Image covers 240 mm x 240 mm, Brain, Image size 240x240
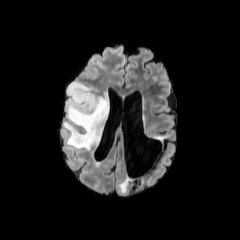
FLAIR MRI.
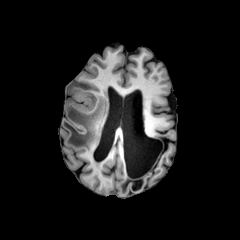
T1-weighted MRI of the same slice.
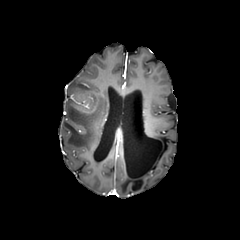
Post-contrast T1-weighted MRI.
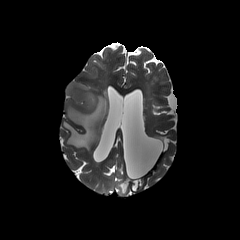
T2-weighted magnetic resonance.
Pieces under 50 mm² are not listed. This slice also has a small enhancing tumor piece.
peritumoral_edema:
  - (63,82,109,150)